Head
FLAIR MRI.
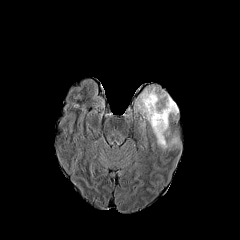
T1-weighted MRI.
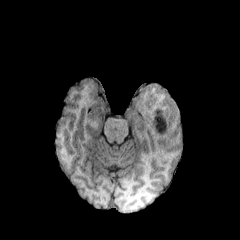
Post-contrast T1-weighted MRI.
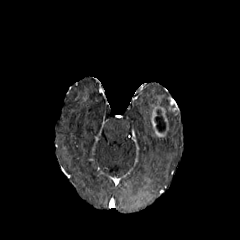
T2-weighted MRI.
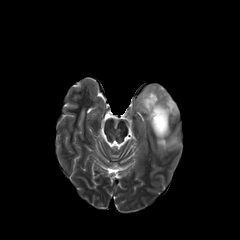
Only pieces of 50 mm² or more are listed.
{"peritumoral_edema": ["167,111,175,135", "136,85,170,127", "156,136,178,150"], "enhancing_tumor": ["150,98,178,138"], "necrotic_tumor_core": ["155,109,165,132"]}